FLAIR MR.
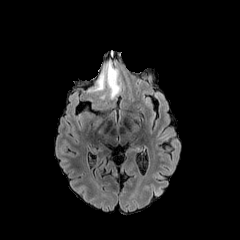
T1-weighted MR.
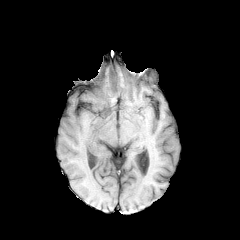
Post-contrast T1-weighted magnetic resonance.
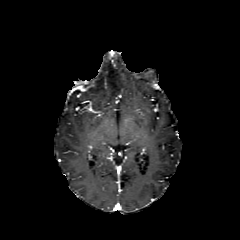
T2-weighted MRI.
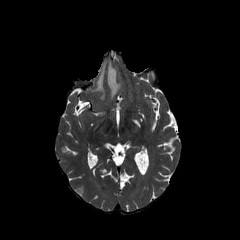
Axial view. Brain. 240x240 px.
{
  "peritumoral_edema": [
    "(89,61,121,99)"
  ]
}